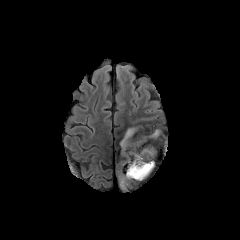
FLAIR MR.
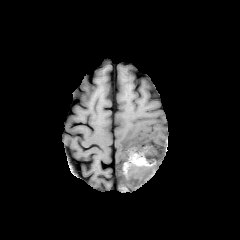
T1-weighted MR.
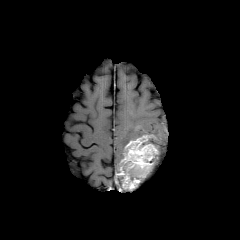
Post-contrast T1-weighted MRI.
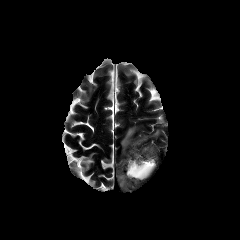
T2-weighted MR image of the same slice.
Head | Axial plane | 240x240 px
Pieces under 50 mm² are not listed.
<segmentation>
  <peritumoral_edema>box=[151, 129, 160, 138]; box=[120, 127, 137, 154]</peritumoral_edema>
  <necrotic_tumor_core>box=[128, 166, 150, 180]</necrotic_tumor_core>
  <enhancing_tumor>box=[118, 135, 158, 189]</enhancing_tumor>
</segmentation>